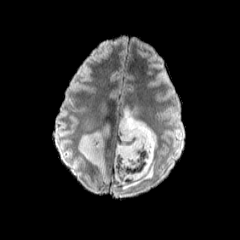
FLAIR MR.
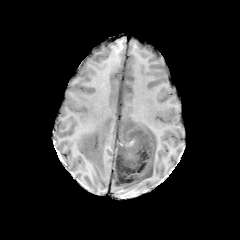
T1-weighted magnetic resonance of the same slice.
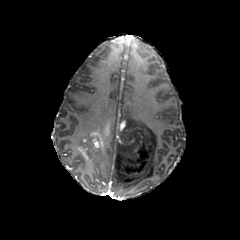
Post-contrast T1-weighted MR image.
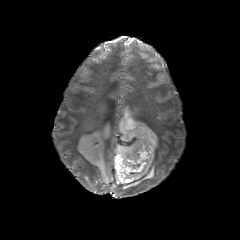
Same slice, T2-weighted MRI.
Axial slice
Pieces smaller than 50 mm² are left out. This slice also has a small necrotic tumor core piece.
Annotated regions:
• enhancing tumor: bbox=[117, 120, 126, 137]; bbox=[81, 122, 110, 162]
• peritumoral edema: bbox=[92, 151, 105, 181]; bbox=[114, 100, 157, 189]; bbox=[77, 133, 91, 153]